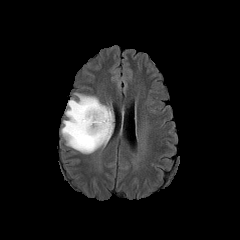
FLAIR MR.
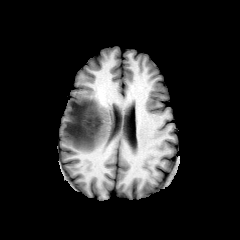
T1-weighted MR image of the same slice.
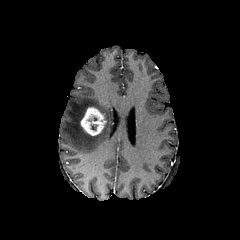
Same slice, post-contrast T1-weighted MR.
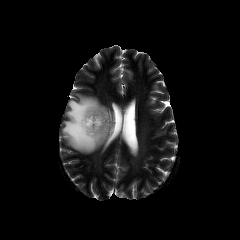
T2-weighted MR image.
Head
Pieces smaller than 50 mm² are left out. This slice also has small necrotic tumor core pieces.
* peritumoral edema: left=61, top=94, right=113, bottom=153
* enhancing tumor: left=80, top=107, right=106, bottom=135